FLAIR MRI.
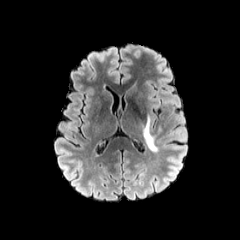
T1-weighted MRI.
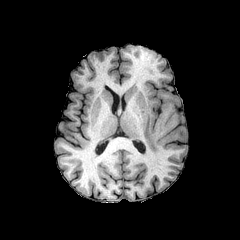
Post-contrast T1-weighted MR image.
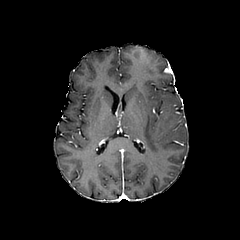
T2-weighted MRI.
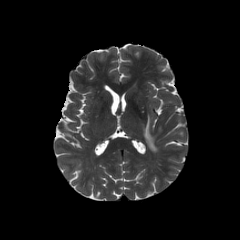
240x240
Annotated regions:
* peritumoral edema: 142, 114, 163, 152